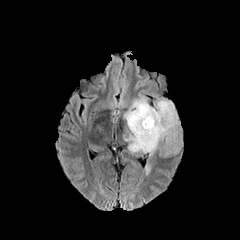
FLAIR MR.
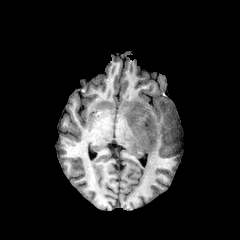
T1-weighted magnetic resonance.
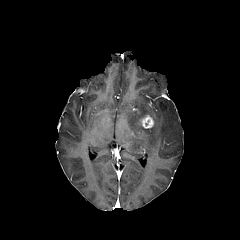
Same slice, post-contrast T1-weighted magnetic resonance.
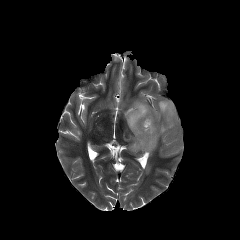
Same slice, T2-weighted MR.
Axial view. Image size 240x240. Head.
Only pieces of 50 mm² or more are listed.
- enhancing tumor: (x1=141, y1=115, x2=153, y2=128)
- peritumoral edema: (x1=124, y1=96, x2=178, y2=155)